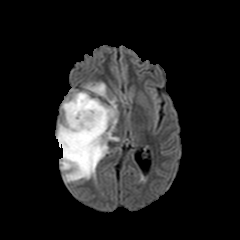
FLAIR MR image.
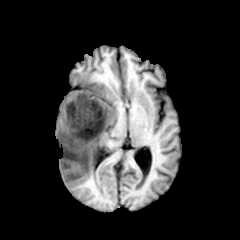
T1-weighted MR image of the same slice.
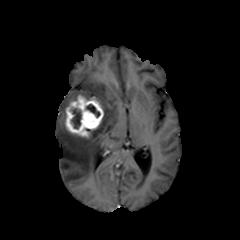
Post-contrast T1-weighted MRI.
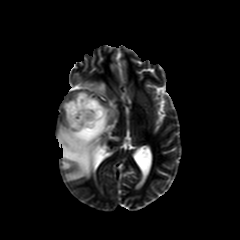
T2-weighted MRI.
Head
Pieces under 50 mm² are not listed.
* peritumoral edema: 56,99,119,181; 62,91,91,110; 84,82,106,96
* necrotic tumor core: 86,104,100,117; 72,109,81,128
* enhancing tumor: 65,94,103,138